FLAIR MRI.
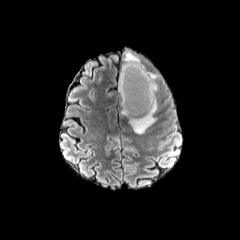
T1-weighted MRI.
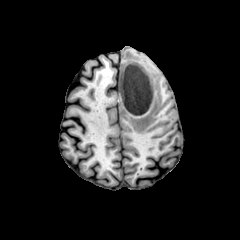
Post-contrast T1-weighted magnetic resonance.
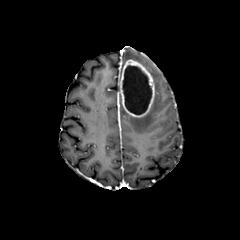
T2-weighted magnetic resonance.
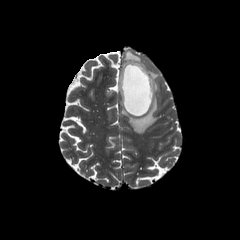
Brain; Axial view
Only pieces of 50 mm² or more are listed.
The enhancing tumor is bounded by (left=120, top=59, right=154, bottom=117). The necrotic tumor core lies within (left=122, top=65, right=151, bottom=114). The 2 largest peritumoral edema regions are bounded by (left=123, top=50, right=140, bottom=62), (left=129, top=72, right=159, bottom=134).